Slice index 81
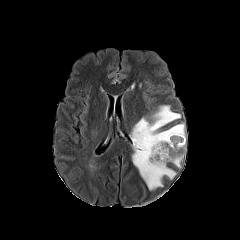
FLAIR MR image.
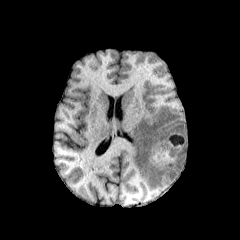
T1-weighted MR.
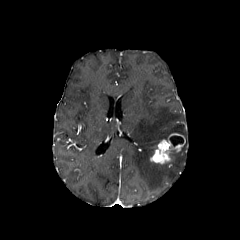
Same slice, post-contrast T1-weighted magnetic resonance.
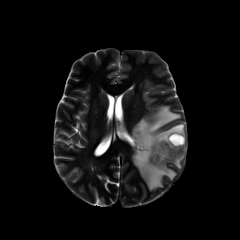
T2-weighted MRI.
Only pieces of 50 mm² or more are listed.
peritumoral edema: [131,105,185,190], [170,151,184,168]
enhancing tumor: [150,133,185,164]
necrotic tumor core: [169,136,183,146]